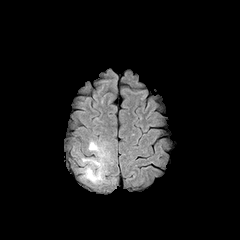
FLAIR MRI.
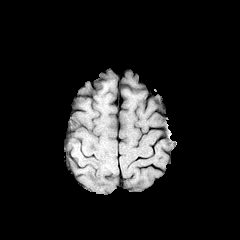
T1-weighted MR image.
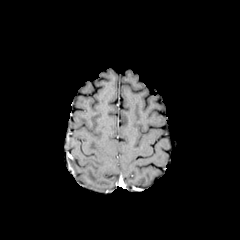
Post-contrast T1-weighted MR.
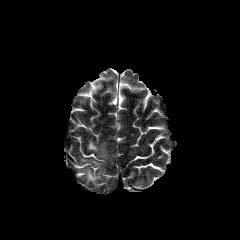
T2-weighted MRI.
peritumoral edema — 85, 168, 102, 183; 82, 141, 105, 168